Axial plane; Slice 62 of 155
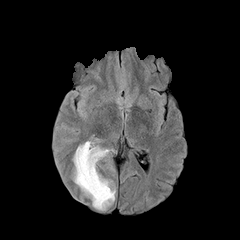
FLAIR MR.
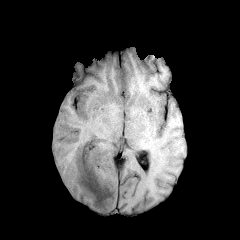
T1-weighted MRI of the same slice.
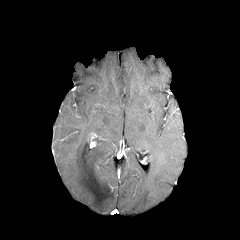
Same slice, post-contrast T1-weighted magnetic resonance.
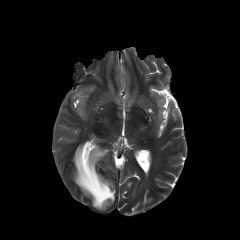
Same slice, T2-weighted MRI.
Findings:
- peritumoral edema: <box>73,141,115,210</box>